Axial view
FLAIR magnetic resonance.
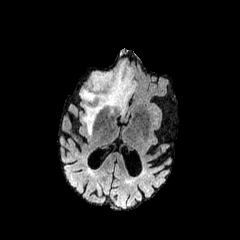
T1-weighted MR image.
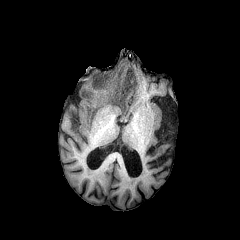
Post-contrast T1-weighted MRI.
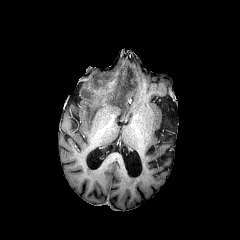
T2-weighted MR image.
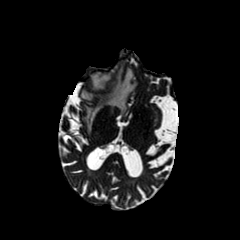
enhancing tumor at 97 79 116 90
peritumoral edema at 81 63 135 133